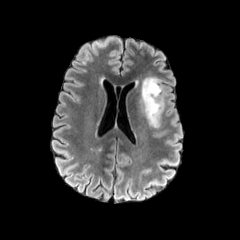
FLAIR MRI.
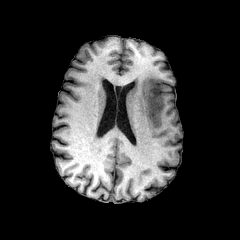
Same slice, T1-weighted magnetic resonance.
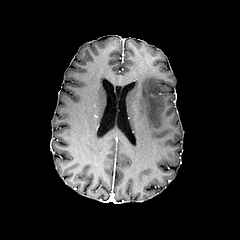
Same slice, post-contrast T1-weighted MR.
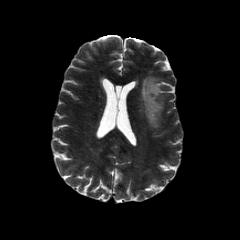
T2-weighted magnetic resonance of the same slice.
Image size 240x240. Axial slice. Head.
peritumoral edema: bounding box <bbox>141, 77, 163, 127</bbox>